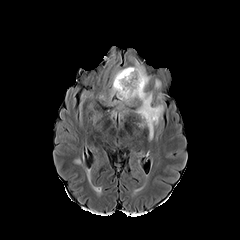
FLAIR MR.
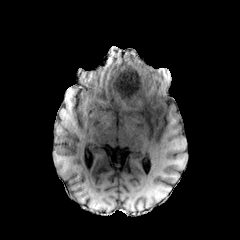
T1-weighted MRI.
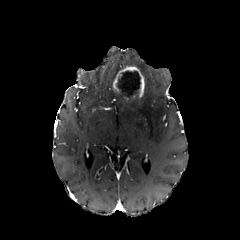
Same slice, post-contrast T1-weighted MRI.
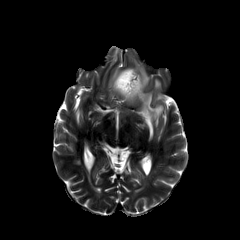
Same slice, T2-weighted MRI.
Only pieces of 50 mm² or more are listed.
<segmentation>
  <enhancing_tumor>113, 66, 144, 98</enhancing_tumor>
  <peritumoral_edema>136, 92, 163, 139; 110, 90, 133, 104; 135, 61, 149, 85</peritumoral_edema>
  <necrotic_tumor_core>117, 71, 140, 99</necrotic_tumor_core>
</segmentation>